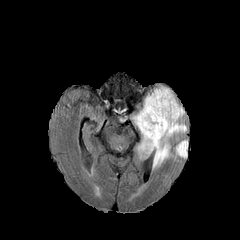
FLAIR MR image.
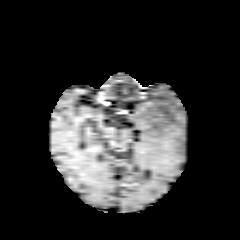
Same slice, T1-weighted magnetic resonance.
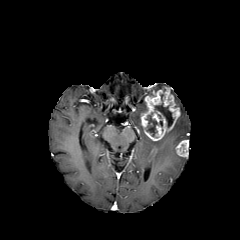
Post-contrast T1-weighted MRI of the same slice.
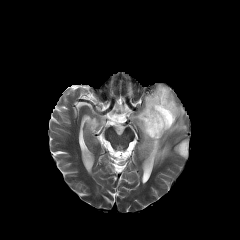
T2-weighted MRI of the same slice.
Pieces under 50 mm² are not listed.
peritumoral edema at [132, 98, 186, 167]
enhancing tumor at [140, 87, 180, 140], [175, 140, 188, 157]
necrotic tumor core at [146, 113, 157, 136], [155, 103, 172, 127]